FLAIR MR image.
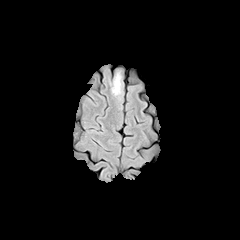
T1-weighted magnetic resonance.
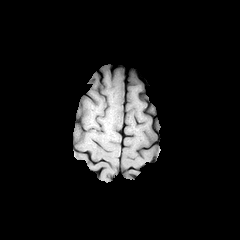
Post-contrast T1-weighted magnetic resonance.
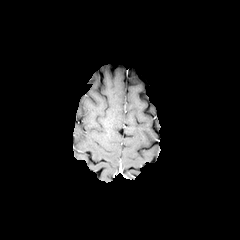
T2-weighted magnetic resonance.
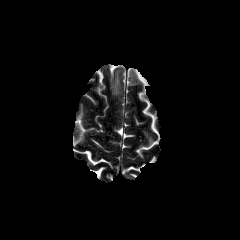
Brain, Axial view, Image size 240x240
<segmentation>
  <peritumoral_edema>bbox=[112, 72, 121, 94]</peritumoral_edema>
</segmentation>